Axial slice; Brain
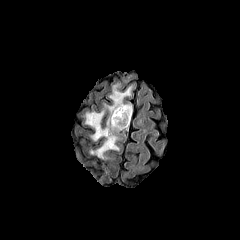
FLAIR MR.
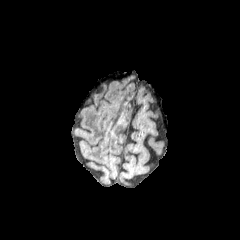
T1-weighted MRI of the same slice.
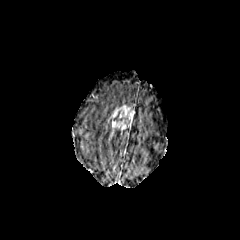
Post-contrast T1-weighted MR.
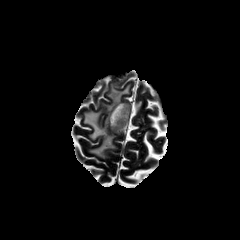
T2-weighted MRI.
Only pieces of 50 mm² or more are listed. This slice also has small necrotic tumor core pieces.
Segmented structures:
- peritumoral edema: <box>105,85,131,119</box>, <box>84,110,120,159</box>
- enhancing tumor: <box>108,104,133,135</box>